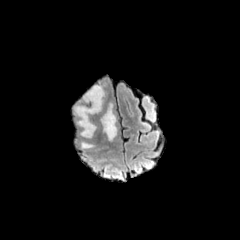
FLAIR MR image.
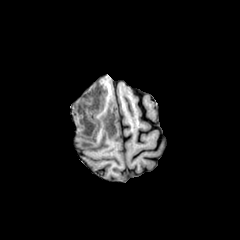
T1-weighted MRI.
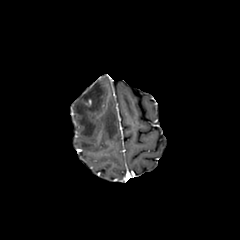
Same slice, post-contrast T1-weighted MR.
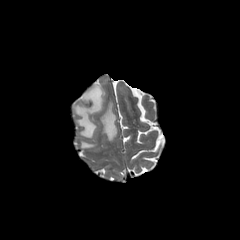
T2-weighted MR image of the same slice.
Head | Axial plane
3 peritumoral edema regions appear at l=81, t=142, r=93, b=148; l=75, t=85, r=104, b=137; l=101, t=103, r=117, b=140.